Slice 95 of 155; Axial plane
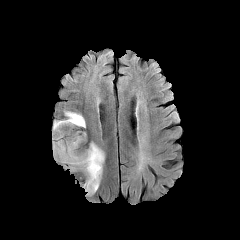
FLAIR MRI.
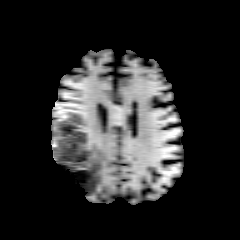
T1-weighted MRI.
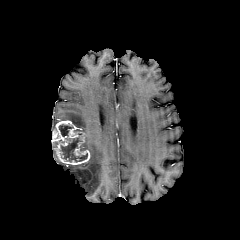
Same slice, post-contrast T1-weighted magnetic resonance.
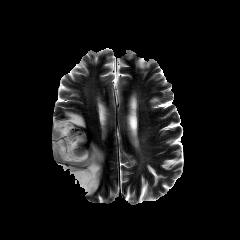
T2-weighted MR image.
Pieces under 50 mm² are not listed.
necrotic tumor core: bounding box (x1=61, y1=138, x2=87, y2=161), (x1=59, y1=125, x2=72, y2=136)
peritumoral edema: bounding box (x1=65, y1=142, x2=104, y2=195), (x1=52, y1=111, x2=85, y2=130)
enhancing tumor: bounding box (x1=52, y1=120, x2=90, y2=165)